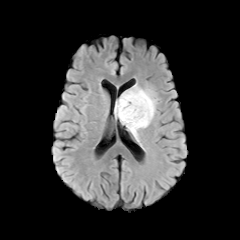
FLAIR magnetic resonance.
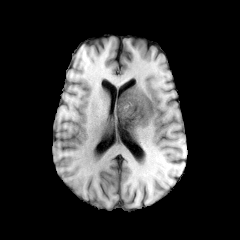
Same slice, T1-weighted magnetic resonance.
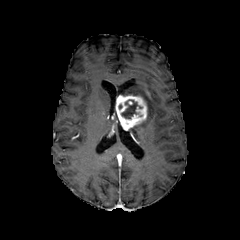
Post-contrast T1-weighted MR image.
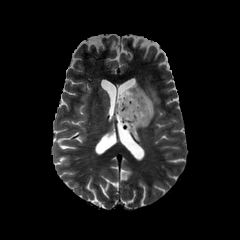
Same slice, T2-weighted magnetic resonance.
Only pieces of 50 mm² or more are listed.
{"peritumoral_edema": ["122 84 156 140"], "necrotic_tumor_core": ["121 100 137 118"], "enhancing_tumor": ["115 94 147 130"]}